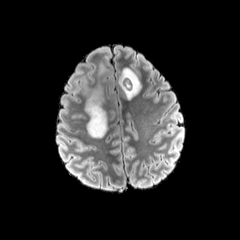
FLAIR MR.
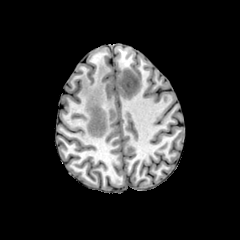
T1-weighted MR image.
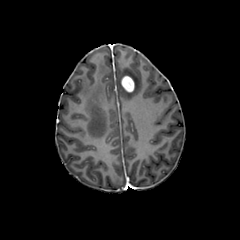
Post-contrast T1-weighted MR of the same slice.
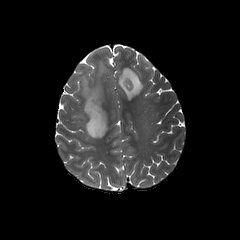
T2-weighted MR of the same slice.
240x240 px; Axial plane
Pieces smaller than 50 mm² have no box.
The largest enhancing tumor region is bounded by <bbox>121, 76, 134, 92</bbox>. 2 peritumoral edema regions appear at <bbox>81, 59, 107, 137</bbox>, <bbox>119, 65, 143, 99</bbox>. The necrotic tumor core appears at <bbox>125, 77, 132, 90</bbox>.